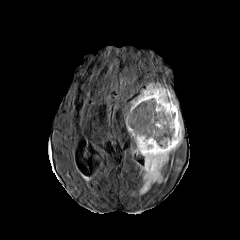
FLAIR MR.
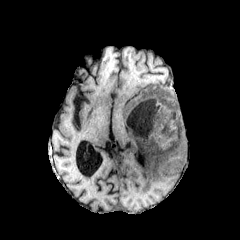
T1-weighted MR.
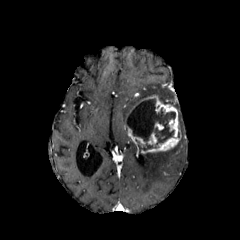
Post-contrast T1-weighted MR image.
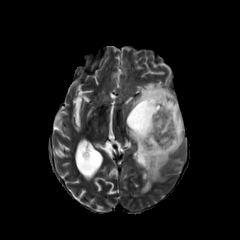
T2-weighted magnetic resonance.
Brain.
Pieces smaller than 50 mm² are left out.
enhancing tumor: 126,95,181,154; 154,122,163,130 | peritumoral edema: 137,114,183,193; 130,82,178,109 | necrotic tumor core: 138,143,153,151; 126,98,175,144